FLAIR MR.
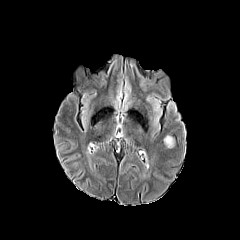
T1-weighted magnetic resonance.
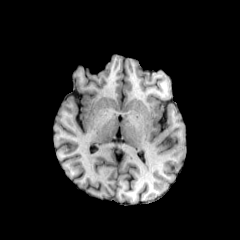
Post-contrast T1-weighted MR.
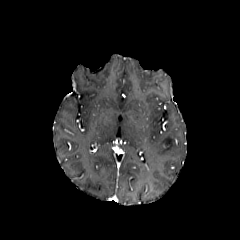
T2-weighted magnetic resonance.
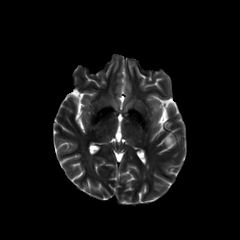
Axial view
peritumoral_edema:
  - {"x1": 164, "y1": 136, "x2": 173, "y2": 147}